240x240 px
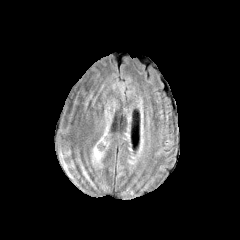
FLAIR MRI.
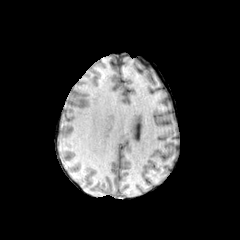
T1-weighted magnetic resonance.
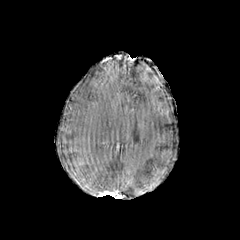
Post-contrast T1-weighted MRI.
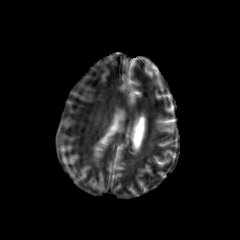
T2-weighted MRI of the same slice.
peritumoral edema: l=94, t=148, r=101, b=159